FLAIR magnetic resonance.
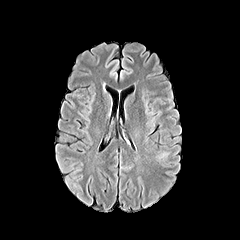
T1-weighted MR.
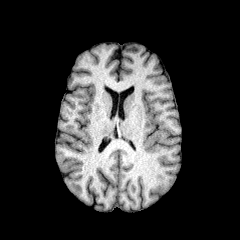
Post-contrast T1-weighted MR.
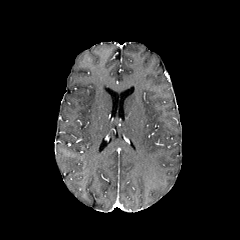
T2-weighted MR.
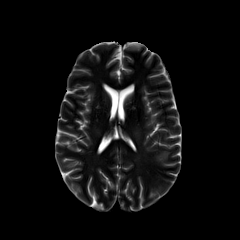
Brain. Axial slice.
The peritumoral edema lies within l=159, t=151, r=170, b=156.